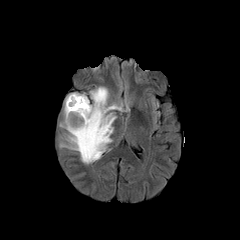
FLAIR MR image.
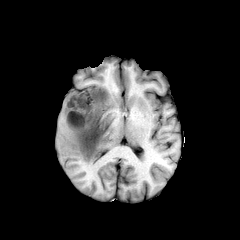
T1-weighted MRI.
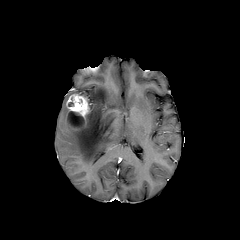
Post-contrast T1-weighted MRI.
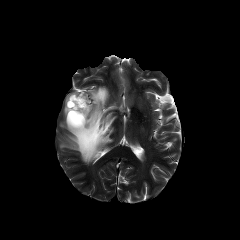
T2-weighted magnetic resonance.
Brain
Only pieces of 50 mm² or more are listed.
{"peritumoral_edema": ["region(60, 86, 121, 164)"], "enhancing_tumor": ["region(65, 94, 90, 129)"], "necrotic_tumor_core": ["region(67, 111, 83, 127)"]}